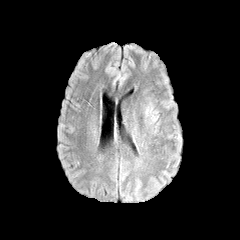
FLAIR MR.
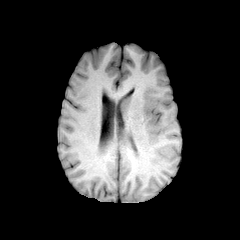
T1-weighted MRI.
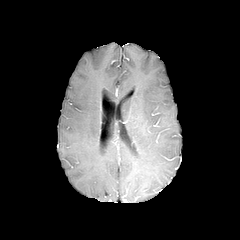
Same slice, post-contrast T1-weighted MR image.
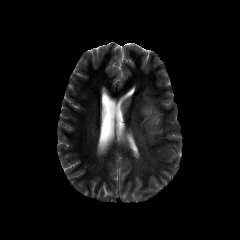
T2-weighted MR image.
Axial slice, 240x240
<segmentation>
  <peritumoral_edema>x1=144 y1=103 x2=157 y2=123</peritumoral_edema>
</segmentation>